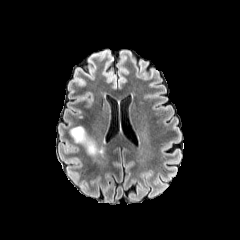
FLAIR MR image.
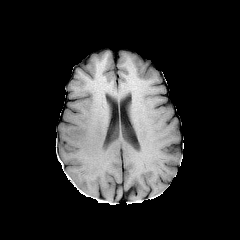
T1-weighted MR image.
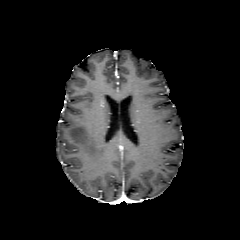
Post-contrast T1-weighted magnetic resonance.
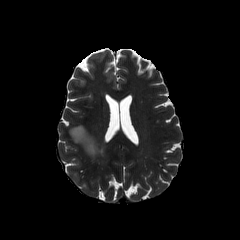
T2-weighted MR image.
240x240 px. Axial plane.
peritumoral edema: bounding box x1=69, y1=126, x2=103, y2=156